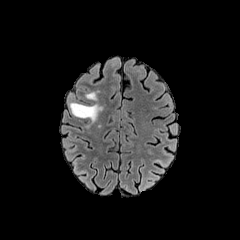
FLAIR MR image.
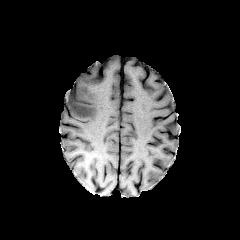
T1-weighted magnetic resonance of the same slice.
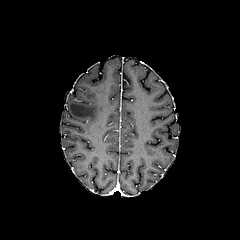
Post-contrast T1-weighted MR of the same slice.
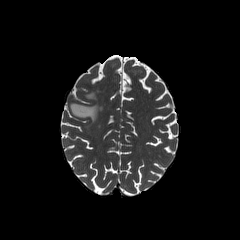
T2-weighted MRI of the same slice.
Head. 240x240 px.
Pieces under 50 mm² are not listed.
peritumoral edema — [85, 92, 97, 101], [69, 101, 102, 122]